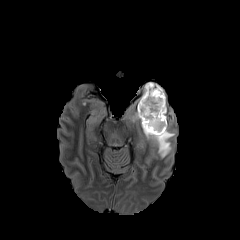
FLAIR MR.
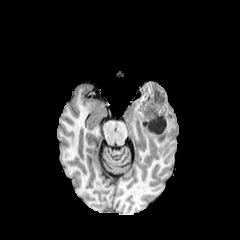
T1-weighted MR.
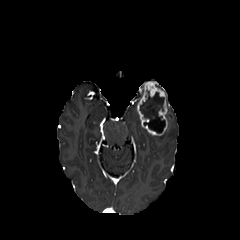
Post-contrast T1-weighted magnetic resonance of the same slice.
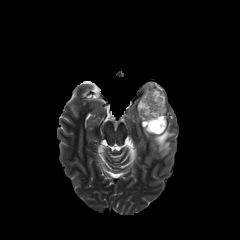
T2-weighted MRI.
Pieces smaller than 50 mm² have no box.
peritumoral_edema:
  - [x1=124, y1=106, x2=176, y2=157]
enhancing_tumor:
  - [x1=137, y1=81, x2=167, y2=135]
necrotic_tumor_core:
  - [x1=140, y1=90, x2=165, y2=133]